FLAIR magnetic resonance.
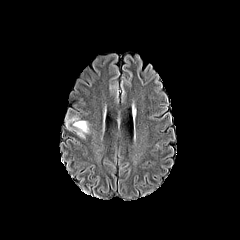
T1-weighted MR image.
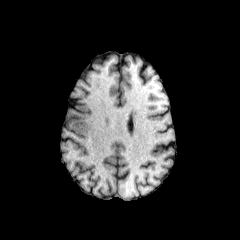
Post-contrast T1-weighted MR image.
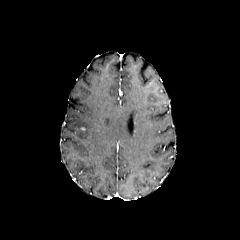
T2-weighted MR.
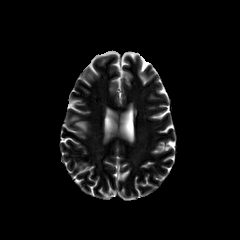
Brain. 240x240 px.
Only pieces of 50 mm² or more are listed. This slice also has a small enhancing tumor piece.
The peritumoral edema lies within <box>66,115,89,138</box>.